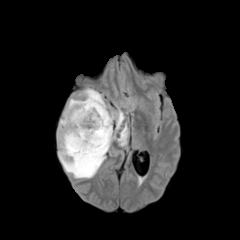
FLAIR MR.
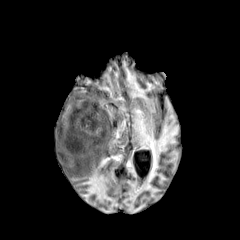
T1-weighted MR image.
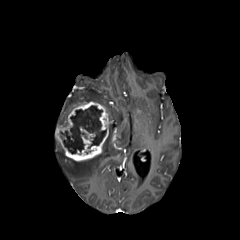
Same slice, post-contrast T1-weighted magnetic resonance.
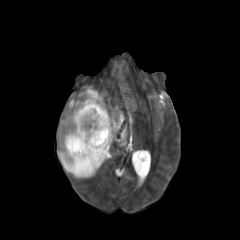
T2-weighted MR.
Axial plane
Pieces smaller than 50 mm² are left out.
enhancing tumor — 56 101 111 161
peritumoral edema — 60 88 107 124, 109 109 124 128, 117 125 127 145, 58 124 112 178
necrotic tumor core — 60 106 106 154